Brain. 240x240.
FLAIR MR.
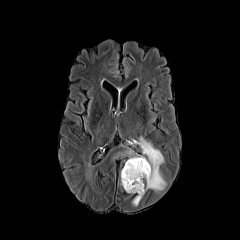
T1-weighted MR.
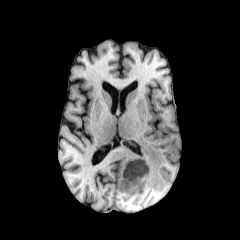
Post-contrast T1-weighted MRI.
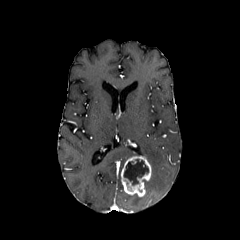
T2-weighted magnetic resonance.
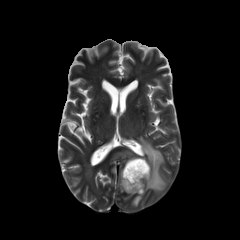
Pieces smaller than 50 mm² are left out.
enhancing tumor — 121,156,151,196
necrotic tumor core — 124,159,148,185
peritumoral edema — 132,195,142,206; 135,136,166,191